FLAIR MR.
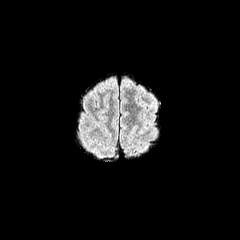
T1-weighted MR.
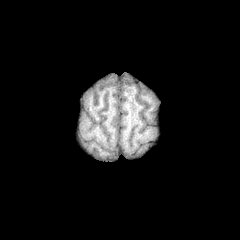
Post-contrast T1-weighted magnetic resonance.
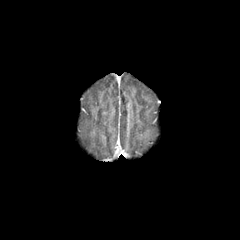
T2-weighted MR image.
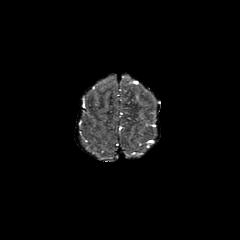
Axial view
peritumoral_edema:
  - x1=91, y1=83, x2=109, y2=94